FLAIR MR.
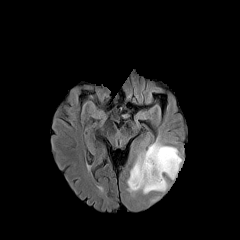
T1-weighted MRI.
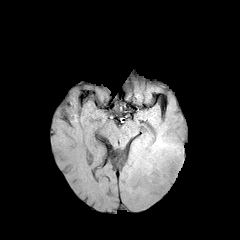
Post-contrast T1-weighted MR.
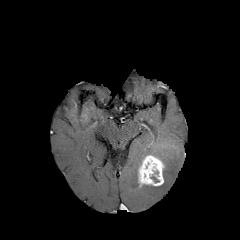
T2-weighted MR.
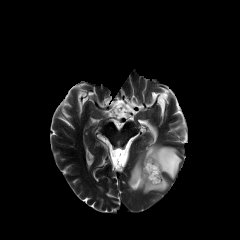
Segmented structures:
- necrotic tumor core: (150,163,159,182)
- enhancing tumor: (137,155,164,187)
- peritumoral edema: (127,139,182,193)